FLAIR MR.
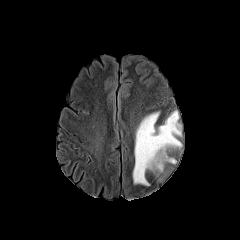
T1-weighted magnetic resonance.
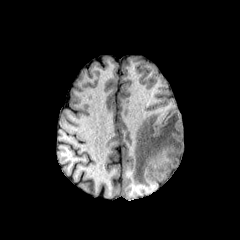
Post-contrast T1-weighted magnetic resonance.
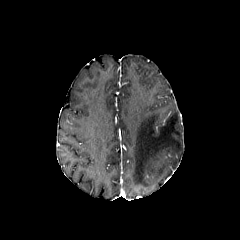
T2-weighted MR.
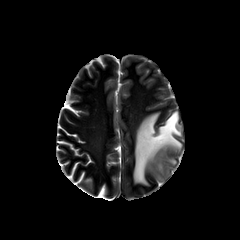
Head. Image size 240x240.
The peritumoral edema is bounded by x1=133 y1=111 x2=182 y2=185.